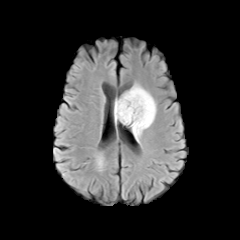
FLAIR magnetic resonance.
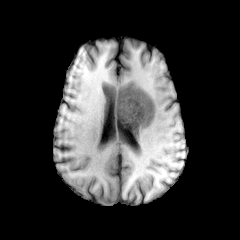
T1-weighted MR.
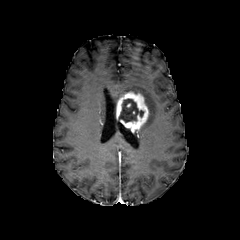
Post-contrast T1-weighted MRI.
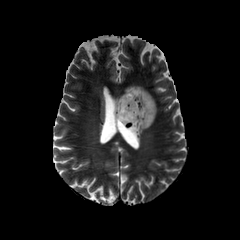
T2-weighted magnetic resonance.
Axial slice.
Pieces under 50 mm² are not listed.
peritumoral edema: bounding box x1=127, y1=85, x2=156, y2=141
enhancing tumor: bounding box x1=116, y1=91, x2=149, y2=132
necrotic tumor core: bounding box x1=119, y1=99, x2=143, y2=122